Axial slice | Brain | 240x240 px | Image covers 240 mm x 240 mm
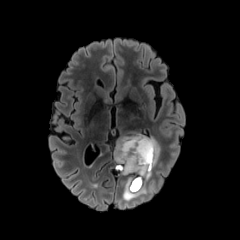
FLAIR magnetic resonance.
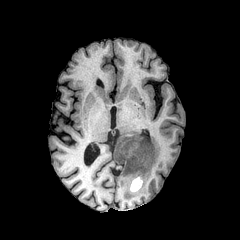
Same slice, T1-weighted MR image.
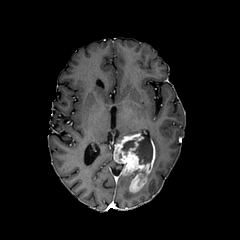
Post-contrast T1-weighted MRI of the same slice.
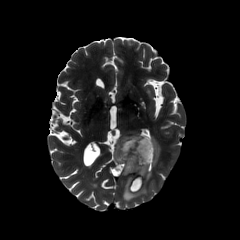
T2-weighted MRI of the same slice.
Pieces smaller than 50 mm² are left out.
necrotic tumor core: (left=133, top=136, right=152, bottom=164), (left=121, top=140, right=135, bottom=154) | enhancing tumor: (left=113, top=133, right=155, bottom=192) | peritumoral edema: (left=123, top=176, right=148, bottom=200), (left=152, top=136, right=160, bottom=167)